240x240 px.
FLAIR magnetic resonance.
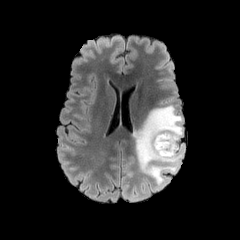
T1-weighted magnetic resonance.
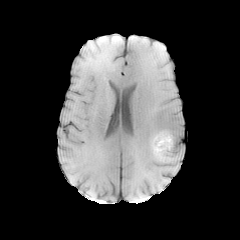
Post-contrast T1-weighted MRI.
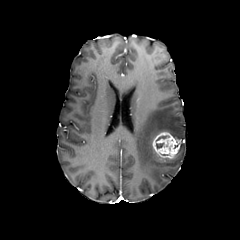
T2-weighted MRI.
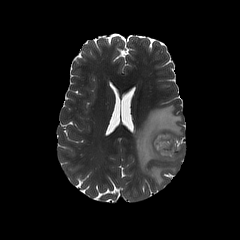
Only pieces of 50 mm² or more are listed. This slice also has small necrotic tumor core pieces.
The enhancing tumor is at (x1=152, y1=132, x2=180, y2=159). The peritumoral edema lies within (x1=133, y1=105, x2=184, y2=187).